Image size 240x240. Slice 62 of 155. Axial plane. Brain.
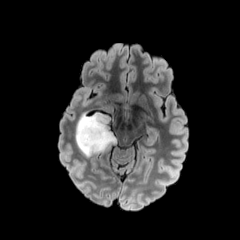
FLAIR MR image.
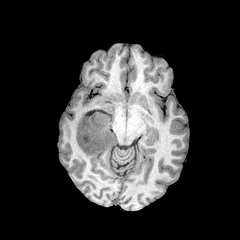
T1-weighted MRI.
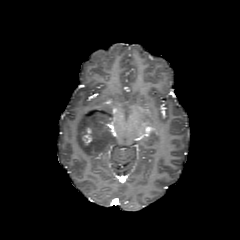
Same slice, post-contrast T1-weighted magnetic resonance.
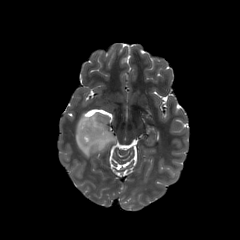
T2-weighted magnetic resonance of the same slice.
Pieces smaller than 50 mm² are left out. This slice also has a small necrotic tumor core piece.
The enhancing tumor is at (82, 127, 92, 145). The peritumoral edema is located at (75, 101, 117, 157).